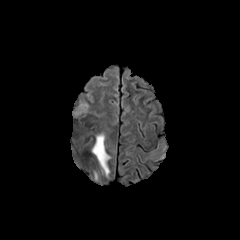
FLAIR MRI.
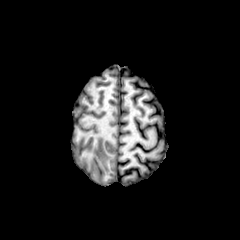
Same slice, T1-weighted MR image.
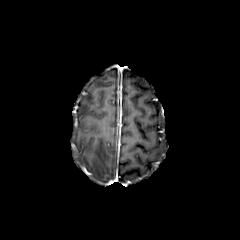
Post-contrast T1-weighted MR image.
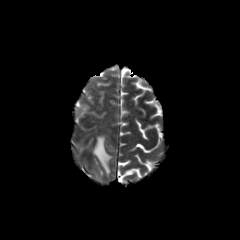
T2-weighted MR image.
240x240 px
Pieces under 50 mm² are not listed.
The largest peritumoral edema region is at {"x1": 92, "y1": 134, "x2": 110, "y2": 175}.